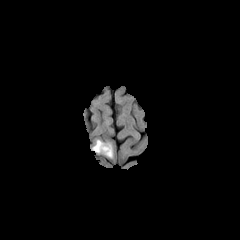
FLAIR magnetic resonance.
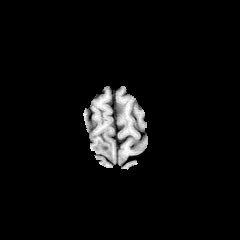
Same slice, T1-weighted magnetic resonance.
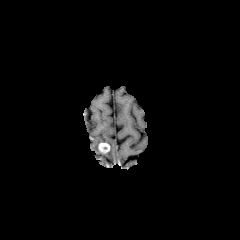
Post-contrast T1-weighted MR image.
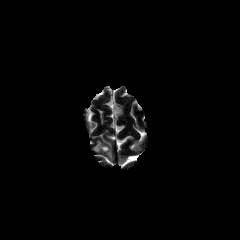
T2-weighted magnetic resonance.
Brain; Axial slice
peritumoral edema: region(92, 139, 113, 158) | enhancing tumor: region(98, 143, 110, 153)